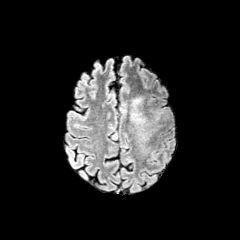
FLAIR MR image.
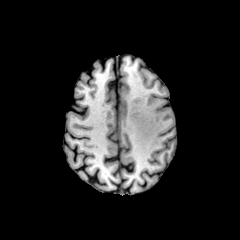
T1-weighted MRI of the same slice.
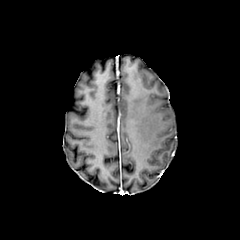
Post-contrast T1-weighted MRI.
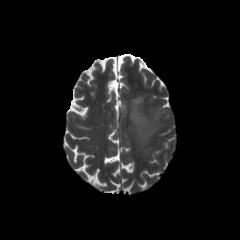
T2-weighted MRI.
240x240 px
The peritumoral edema lies within box=[130, 95, 153, 127].